Brain
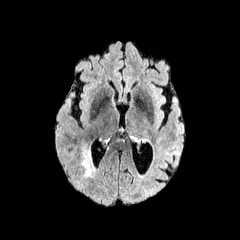
FLAIR MR image.
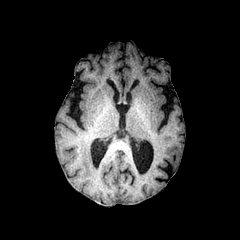
Same slice, T1-weighted MRI.
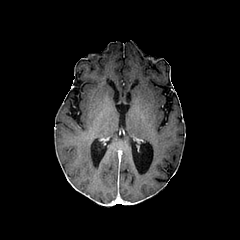
Post-contrast T1-weighted magnetic resonance.
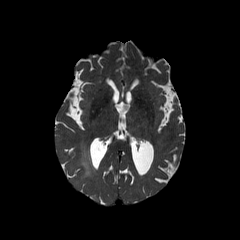
T2-weighted MR of the same slice.
peritumoral_edema:
  - (left=81, top=147, right=94, bottom=177)